FLAIR MRI.
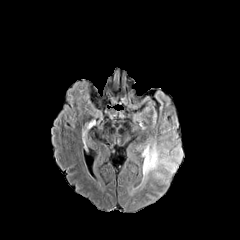
T1-weighted MR.
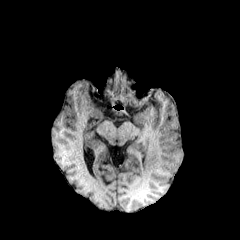
Post-contrast T1-weighted MRI.
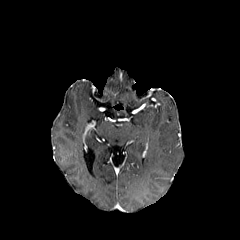
T2-weighted MRI.
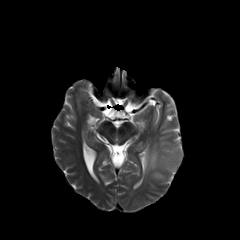
Brain; Axial slice
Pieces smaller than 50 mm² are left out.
The largest peritumoral edema region is located at {"x1": 142, "y1": 141, "x2": 182, "y2": 179}.